FLAIR MR image.
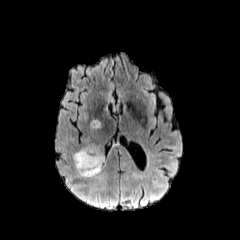
T1-weighted magnetic resonance.
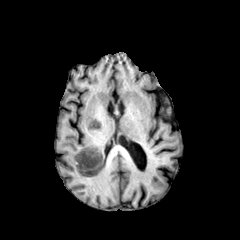
Post-contrast T1-weighted magnetic resonance.
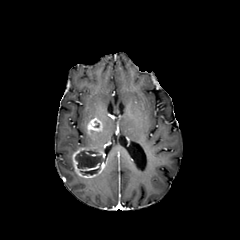
T2-weighted MR image.
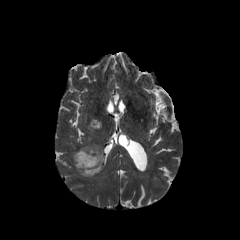
Brain | Axial plane
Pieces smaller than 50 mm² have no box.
* peritumoral edema: (x1=89, y1=170, x2=106, y2=189)
* necrotic tumor core: (x1=80, y1=168, x2=99, y2=175), (x1=75, y1=150, x2=103, y2=168)
* enhancing tumor: (x1=72, y1=146, x2=105, y2=178), (x1=87, y1=118, x2=102, y2=133)